FLAIR MRI.
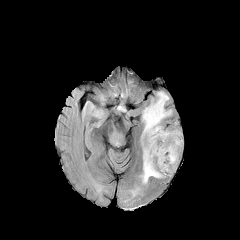
T1-weighted MR image.
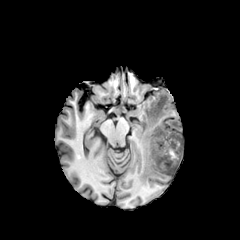
Post-contrast T1-weighted MRI.
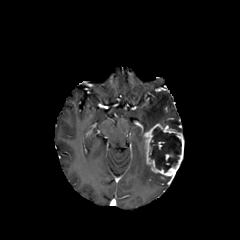
T2-weighted magnetic resonance.
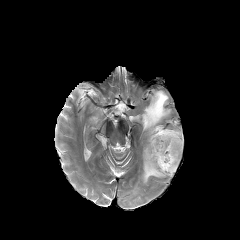
Axial plane.
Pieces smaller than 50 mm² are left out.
The largest enhancing tumor region is at 143:123:184:177. The largest necrotic tumor core region lies within 149:127:181:171. The 2 largest peritumoral edema regions appear at 141:141:165:183, 142:92:171:132.